Slice index 59, Axial slice, Head
FLAIR MR.
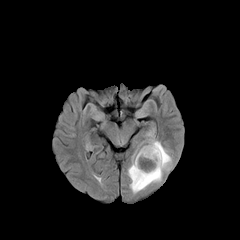
T1-weighted MR image.
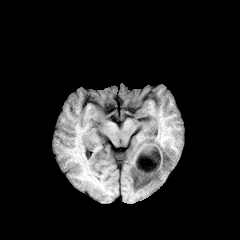
Post-contrast T1-weighted magnetic resonance.
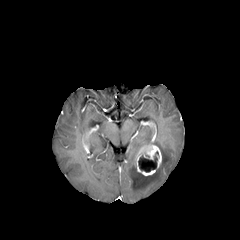
T2-weighted MR image.
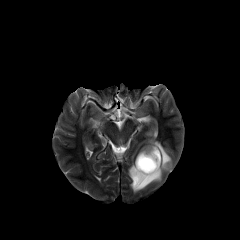
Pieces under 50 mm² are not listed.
{
  "enhancing_tumor": [
    "box(135, 144, 161, 175)"
  ],
  "peritumoral_edema": [
    "box(128, 130, 172, 193)"
  ],
  "necrotic_tumor_core": [
    "box(138, 155, 157, 172)"
  ]
}